Axial plane | 240x240 | Slice 107/155
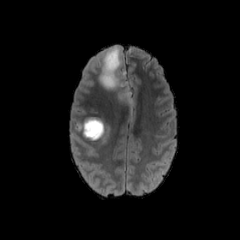
FLAIR MR.
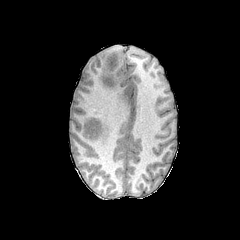
T1-weighted MR image.
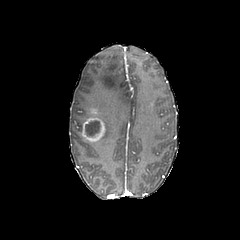
Post-contrast T1-weighted MRI.
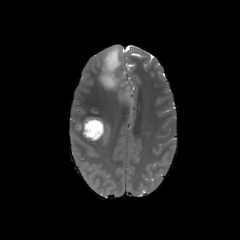
T2-weighted MRI.
necrotic_tumor_core:
  - <box>85,121,99,136</box>
enhancing_tumor:
  - <box>89,106,99,114</box>
  - <box>81,114,105,142</box>
peritumoral_edema:
  - <box>98,46,136,124</box>
  - <box>72,105,111,147</box>